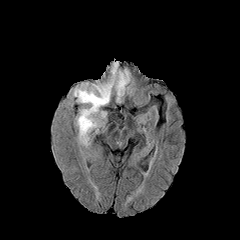
FLAIR magnetic resonance.
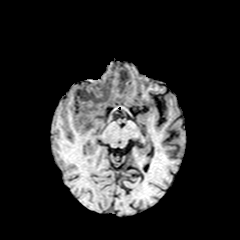
Same slice, T1-weighted MR image.
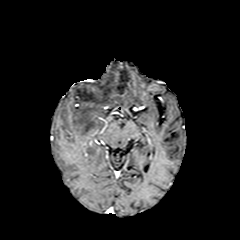
Same slice, post-contrast T1-weighted magnetic resonance.
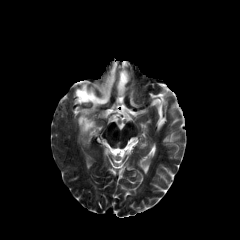
Same slice, T2-weighted MR image.
Axial slice, Brain
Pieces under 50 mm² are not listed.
peritumoral edema: x1=74 y1=61 x2=117 y2=143, x1=116 y1=69 x2=129 y2=102